Slice 53 of 155, Axial slice
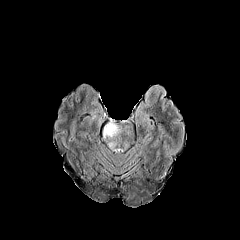
FLAIR magnetic resonance.
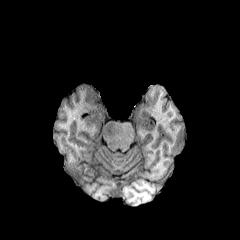
T1-weighted magnetic resonance.
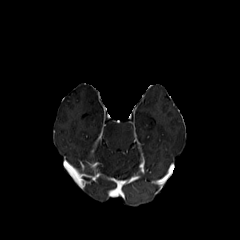
Post-contrast T1-weighted MR of the same slice.
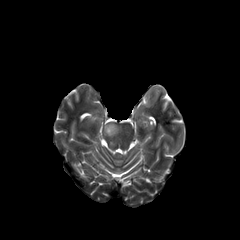
T2-weighted MRI of the same slice.
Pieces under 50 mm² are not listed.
<segmentation>
  <peritumoral_edema>region(103, 122, 120, 138)</peritumoral_edema>
</segmentation>